FLAIR MR.
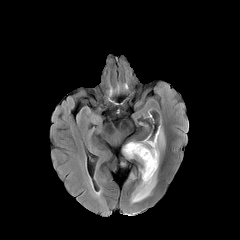
T1-weighted MR image.
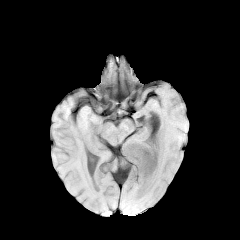
Post-contrast T1-weighted MR.
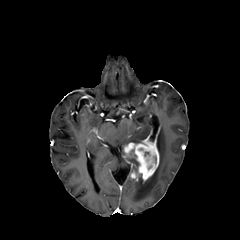
T2-weighted MR.
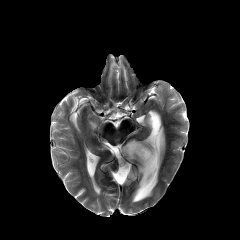
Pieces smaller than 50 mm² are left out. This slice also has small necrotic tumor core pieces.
<segmentation>
  <peritumoral_edema>box=[152, 126, 165, 160]; box=[131, 166, 158, 203]</peritumoral_edema>
  <enhancing_tumor>box=[124, 135, 159, 181]</enhancing_tumor>
</segmentation>